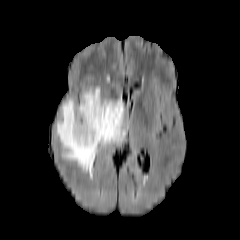
FLAIR magnetic resonance.
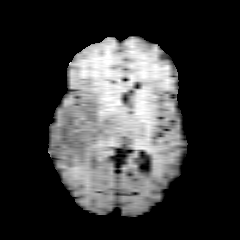
T1-weighted MR.
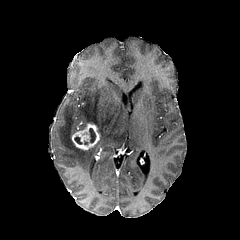
Same slice, post-contrast T1-weighted magnetic resonance.
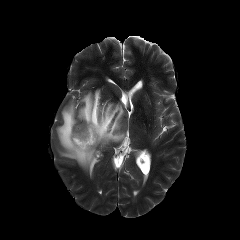
T2-weighted MRI.
Axial view, Brain
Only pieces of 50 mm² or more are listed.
Segmented structures:
- peritumoral edema: (57, 88, 126, 176)
- enhancing tumor: (71, 123, 100, 150)
- necrotic tumor core: (89, 128, 95, 142)